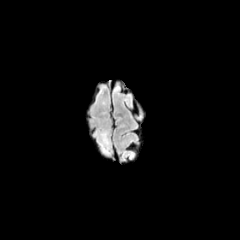
FLAIR MR.
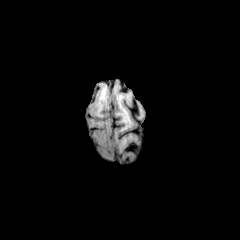
T1-weighted MR image.
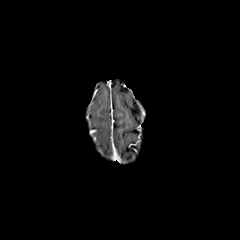
Post-contrast T1-weighted MR image.
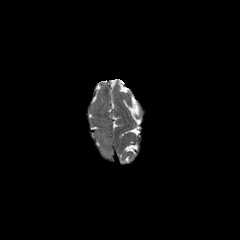
Same slice, T2-weighted MR image.
240x240 px.
The peritumoral edema lies within left=96, top=130, right=110, bottom=154.